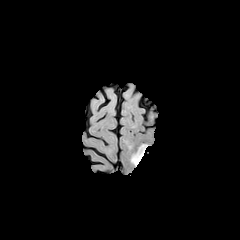
FLAIR MRI.
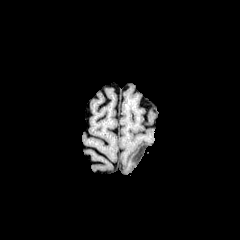
T1-weighted MR.
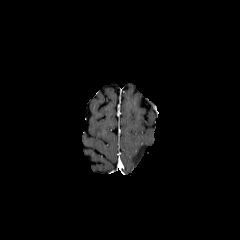
Post-contrast T1-weighted MRI.
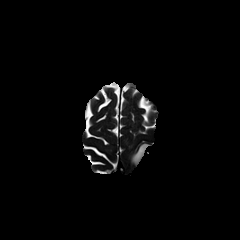
Same slice, T2-weighted magnetic resonance.
Brain
{
  "peritumoral_edema": [
    "x1=131, y1=144, x2=147, y2=165"
  ]
}